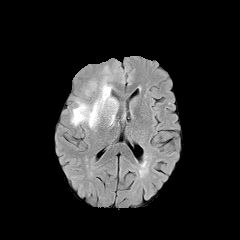
FLAIR MR.
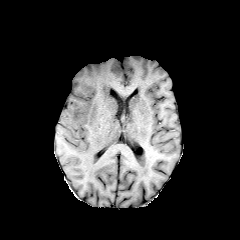
T1-weighted MR image of the same slice.
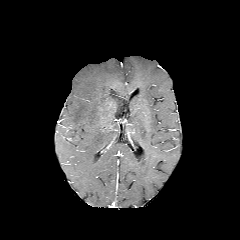
Same slice, post-contrast T1-weighted magnetic resonance.
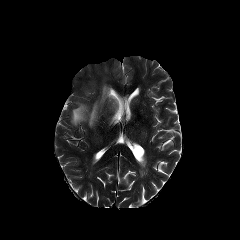
T2-weighted MR image.
Head; Axial plane
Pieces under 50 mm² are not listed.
* peritumoral edema: [x1=71, y1=77, x2=118, y2=128]